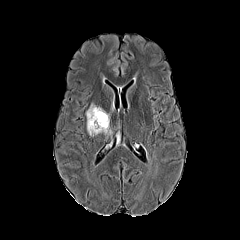
FLAIR MR image.
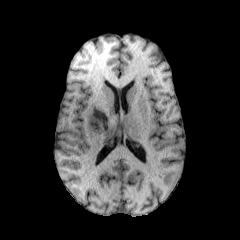
T1-weighted magnetic resonance of the same slice.
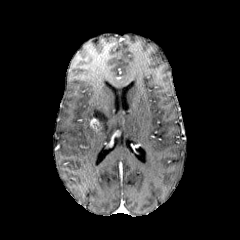
Post-contrast T1-weighted magnetic resonance of the same slice.
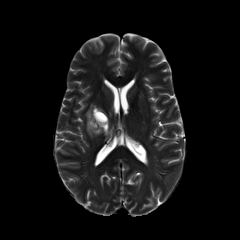
T2-weighted MRI.
240x240 px | Axial plane | Brain
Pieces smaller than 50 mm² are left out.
The peritumoral edema is at {"x1": 86, "y1": 104, "x2": 111, "y2": 136}. The largest enhancing tumor region appears at {"x1": 90, "y1": 118, "x2": 101, "y2": 131}.